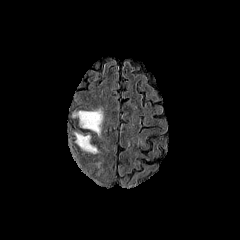
FLAIR MRI.
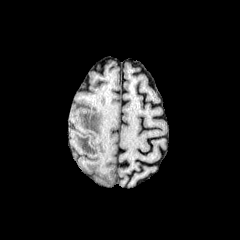
T1-weighted MR of the same slice.
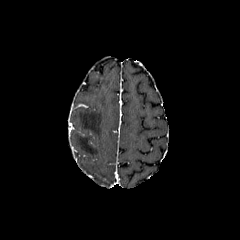
Same slice, post-contrast T1-weighted MRI.
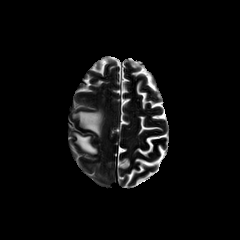
T2-weighted MRI.
240x240 px
2 peritumoral edema regions appear at bbox(73, 109, 103, 136); bbox(74, 133, 97, 153).